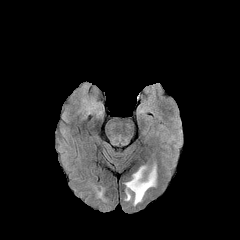
FLAIR MR.
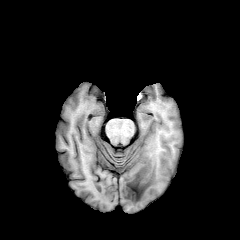
Same slice, T1-weighted magnetic resonance.
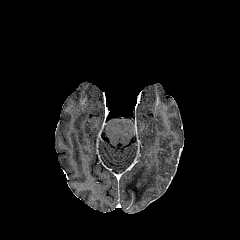
Same slice, post-contrast T1-weighted MR image.
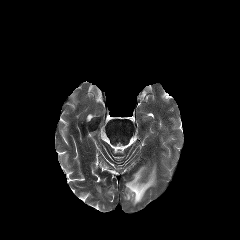
T2-weighted magnetic resonance of the same slice.
Axial view. 240x240.
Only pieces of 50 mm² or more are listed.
The largest peritumoral edema region is at [125,165,156,205].